Axial slice, Brain, Image size 240x240
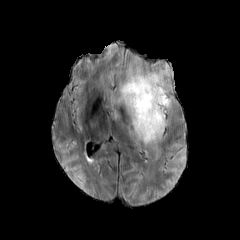
FLAIR MRI.
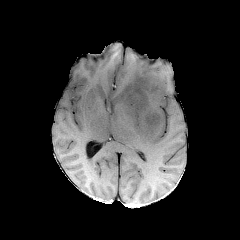
T1-weighted magnetic resonance.
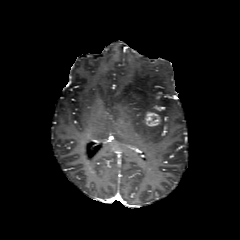
Same slice, post-contrast T1-weighted MR image.
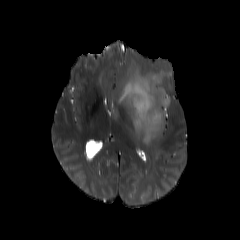
T2-weighted magnetic resonance of the same slice.
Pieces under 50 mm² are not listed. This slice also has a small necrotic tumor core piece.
The largest enhancing tumor region appears at region(145, 111, 161, 127). The peritumoral edema is located at region(115, 65, 171, 144).